Axial view | Slice 49 of 155
FLAIR magnetic resonance.
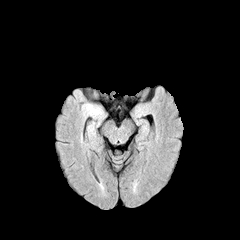
T1-weighted MR.
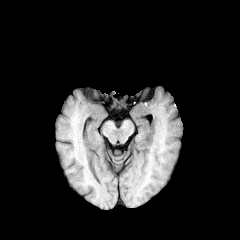
Post-contrast T1-weighted MRI.
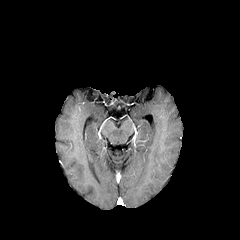
T2-weighted magnetic resonance.
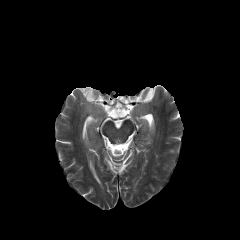
Findings:
* peritumoral edema: [85,104,101,115]